FLAIR magnetic resonance.
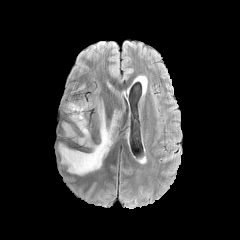
T1-weighted MRI.
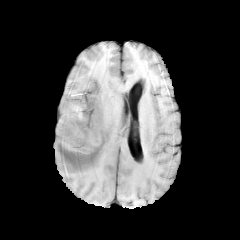
Post-contrast T1-weighted MRI.
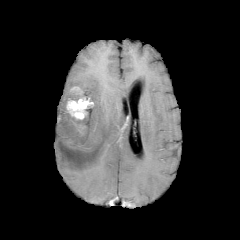
T2-weighted magnetic resonance.
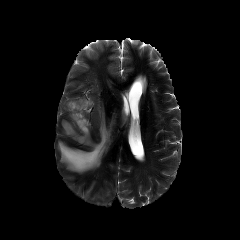
Head
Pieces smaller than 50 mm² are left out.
Segmented structures:
* enhancing tumor: (66,97,93,119)
* peritumoral edema: (58,102,116,174)